Slice 86/155, Brain, Image size 240x240, Image width 240 mm
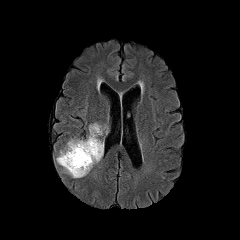
FLAIR magnetic resonance.
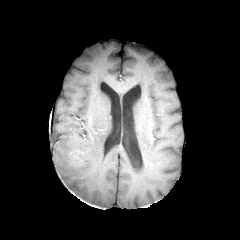
T1-weighted magnetic resonance.
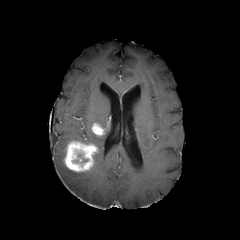
Post-contrast T1-weighted MR of the same slice.
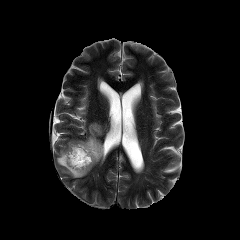
T2-weighted MR image.
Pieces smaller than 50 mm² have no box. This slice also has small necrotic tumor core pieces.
2 enhancing tumor regions are located at box(91, 123, 104, 135); box(63, 140, 98, 172). The largest peritumoral edema region is at box(56, 124, 103, 178).